Slice index 100. Axial slice. Image width 240 mm, 1.00 mm slice spacing.
FLAIR MR image.
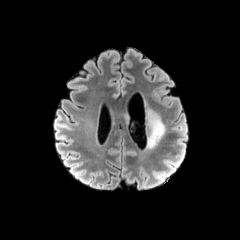
T1-weighted MR.
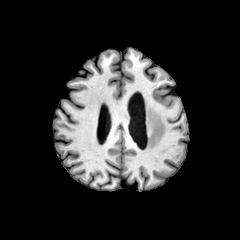
Post-contrast T1-weighted magnetic resonance.
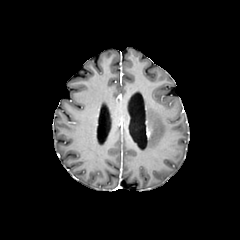
T2-weighted MR image.
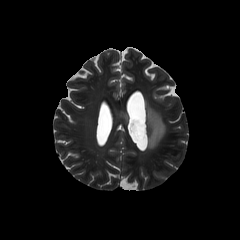
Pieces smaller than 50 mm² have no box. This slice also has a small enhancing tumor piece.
peritumoral edema: bbox=[120, 112, 129, 124]; bbox=[146, 108, 165, 149]